FLAIR MR.
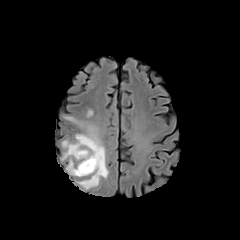
T1-weighted MR.
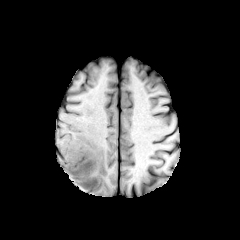
Post-contrast T1-weighted magnetic resonance.
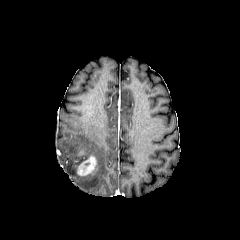
T2-weighted MR.
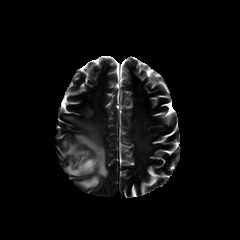
Image size 240x240.
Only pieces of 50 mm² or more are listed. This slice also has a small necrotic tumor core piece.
{"enhancing_tumor": ["[77, 155, 96, 175]"], "peritumoral_edema": ["[62, 116, 108, 189]"]}